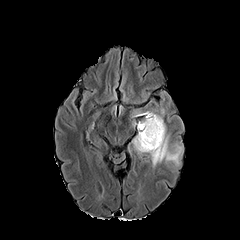
FLAIR MR image.
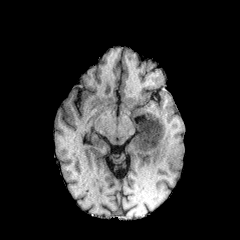
Same slice, T1-weighted MR.
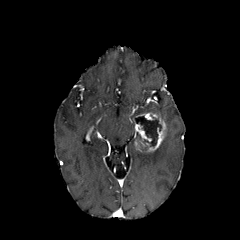
Post-contrast T1-weighted MR image.
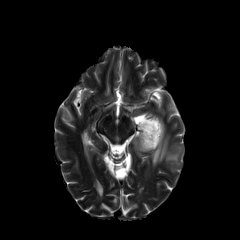
T2-weighted MR image.
Head. Image size 240x240. Axial slice.
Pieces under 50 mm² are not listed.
<segmentation>
  <enhancing_tumor>(left=135, top=113, right=165, bottom=152), (left=134, top=122, right=151, bottom=151)</enhancing_tumor>
  <necrotic_tumor_core>(left=135, top=115, right=161, bottom=146)</necrotic_tumor_core>
  <peritumoral_edema>(left=149, top=134, right=182, bottom=166)</peritumoral_edema>
</segmentation>